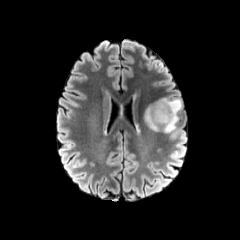
FLAIR MR image.
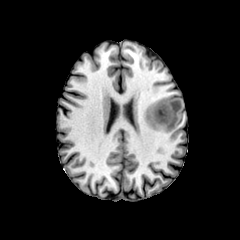
T1-weighted MRI of the same slice.
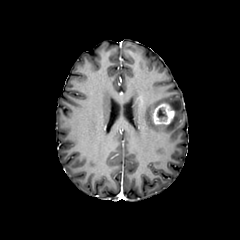
Post-contrast T1-weighted MR image.
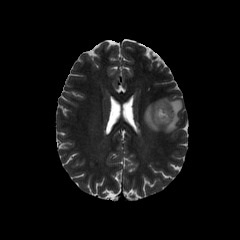
Same slice, T2-weighted MRI.
{
  "necrotic_tumor_core": [
    "(157,108,166,118)"
  ],
  "peritumoral_edema": [
    "(144,98,182,132)"
  ],
  "enhancing_tumor": [
    "(152,103,174,124)"
  ]
}